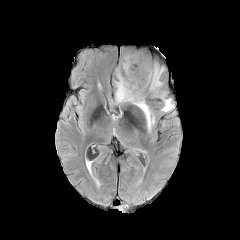
FLAIR MR.
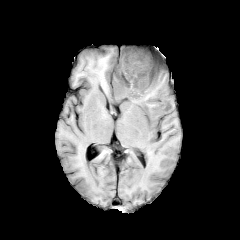
T1-weighted MR image of the same slice.
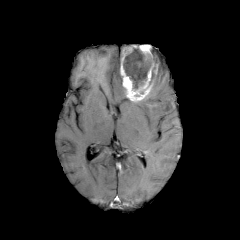
Post-contrast T1-weighted MR image of the same slice.
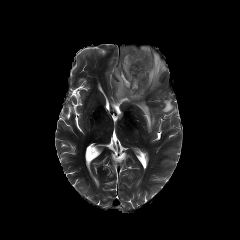
Same slice, T2-weighted MR.
240x240
enhancing tumor = [120,45,160,101]
peritumoral edema = [150,64,173,112], [115,67,155,132]
necrotic tumor core = [123,46,150,88]